Axial plane; Slice 52/155; Image width 240 mm; Head; 240x240
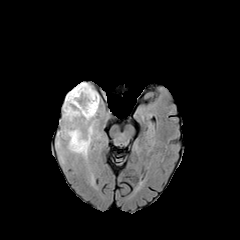
FLAIR magnetic resonance.
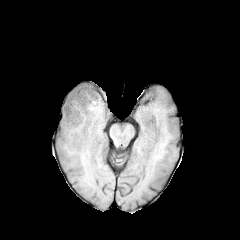
T1-weighted magnetic resonance.
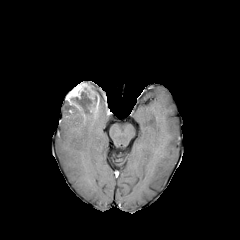
Same slice, post-contrast T1-weighted magnetic resonance.
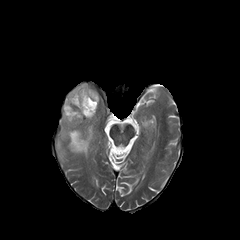
T2-weighted magnetic resonance of the same slice.
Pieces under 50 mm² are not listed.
The largest necrotic tumor core region appears at box=[71, 92, 92, 114]. The largest enhancing tumor region is at box=[65, 82, 99, 120]. The largest peritumoral edema region lies within box=[63, 101, 96, 157].